Image covers 240 mm x 240 mm, Axial view, Slice 84/155, Brain
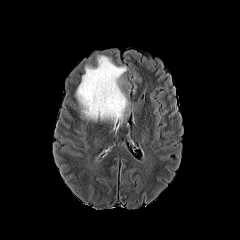
FLAIR MR.
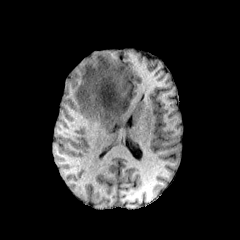
Same slice, T1-weighted MRI.
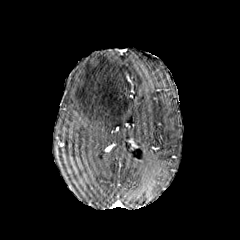
Same slice, post-contrast T1-weighted MRI.
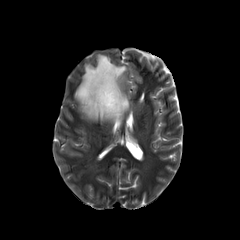
Same slice, T2-weighted MR image.
<segmentation>
  <peritumoral_edema><box>75,55,127,125</box></peritumoral_edema>
</segmentation>